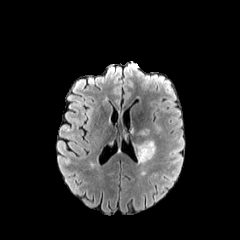
FLAIR magnetic resonance.
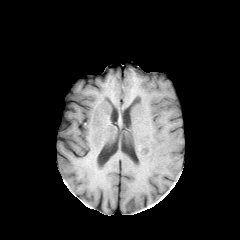
T1-weighted MRI.
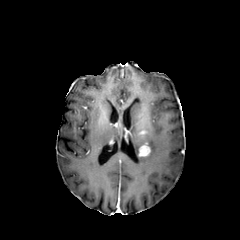
Post-contrast T1-weighted MRI.
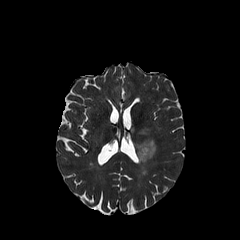
T2-weighted magnetic resonance of the same slice.
Brain; Axial plane
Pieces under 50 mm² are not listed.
The largest enhancing tumor region appears at rect(139, 143, 150, 156). The largest peritumoral edema region lies within rect(136, 140, 155, 163).